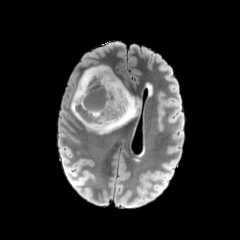
FLAIR MR image.
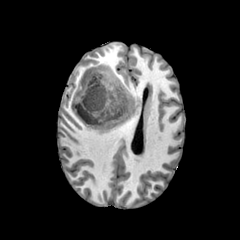
T1-weighted magnetic resonance.
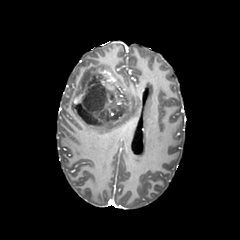
Post-contrast T1-weighted magnetic resonance.
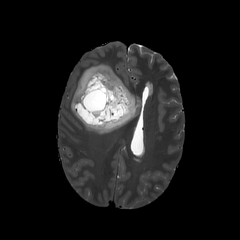
T2-weighted MR.
Head. Axial view.
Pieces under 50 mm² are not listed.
Segmented structures:
• necrotic tumor core: [74,75,123,125]
• peritumoral edema: [71,65,140,134]
• enhancing tumor: [74,75,93,106], [94,70,128,119]